240x240 px, Brain
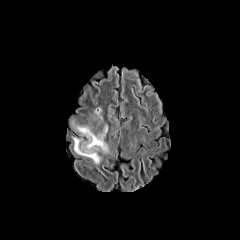
FLAIR MRI.
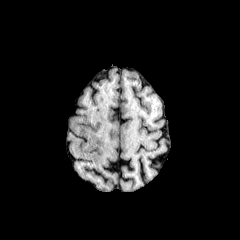
T1-weighted MR.
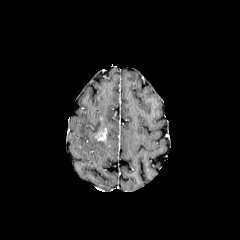
Post-contrast T1-weighted magnetic resonance of the same slice.
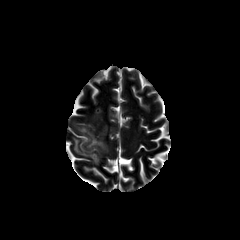
T2-weighted MR image.
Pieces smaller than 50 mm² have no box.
The largest peritumoral edema region lies within bbox(73, 122, 108, 164). The enhancing tumor lies within bbox(95, 128, 107, 140).